FLAIR MRI.
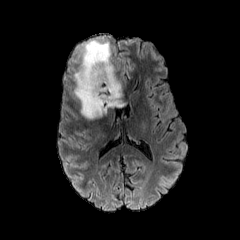
T1-weighted MRI.
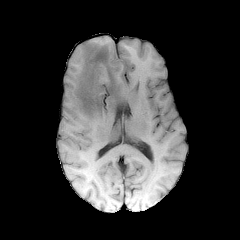
Post-contrast T1-weighted MR.
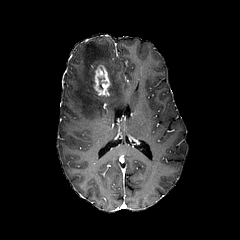
T2-weighted MRI.
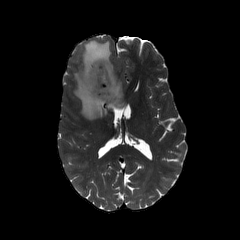
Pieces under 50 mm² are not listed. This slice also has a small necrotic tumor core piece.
The peritumoral edema is at x1=74, y1=39, x2=123, y2=119. The enhancing tumor is at x1=93, y1=65, x2=110, y2=96.